Axial plane | Brain | Slice index 65
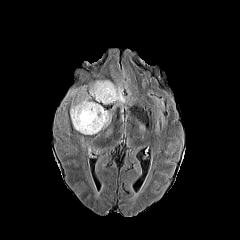
FLAIR MRI.
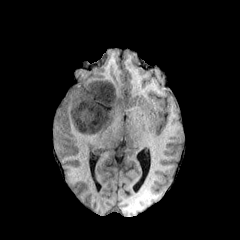
T1-weighted magnetic resonance.
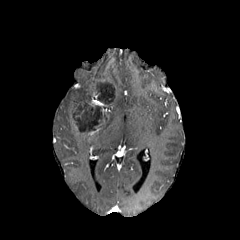
Post-contrast T1-weighted MR image of the same slice.
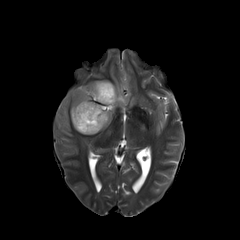
T2-weighted MR image of the same slice.
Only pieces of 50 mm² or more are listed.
enhancing tumor: (89, 91, 106, 107), (88, 108, 109, 135) | necrotic tumor core: (73, 100, 105, 133), (96, 83, 120, 105) | peritumoral edema: (102, 112, 111, 128), (64, 89, 77, 101), (70, 81, 127, 125)